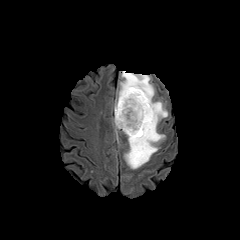
FLAIR MR image.
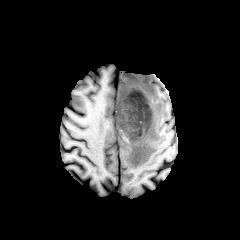
T1-weighted MR image.
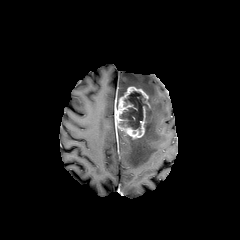
Post-contrast T1-weighted MR of the same slice.
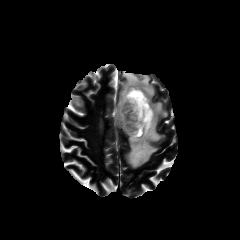
T2-weighted MR image.
Axial view
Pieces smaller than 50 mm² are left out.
The largest necrotic tumor core region is at box(119, 91, 144, 130). 2 peritumoral edema regions appear at box(114, 104, 118, 128); box(119, 71, 168, 169). The enhancing tumor is bounded by box(117, 86, 151, 139).